FLAIR MRI.
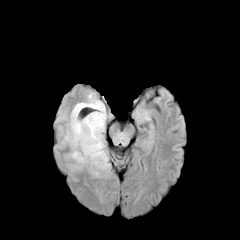
T1-weighted magnetic resonance.
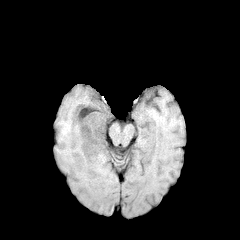
Post-contrast T1-weighted MRI.
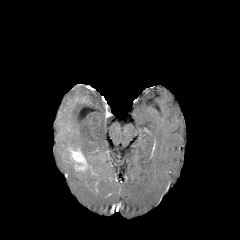
T2-weighted MRI.
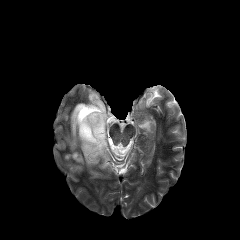
Image size 240x240 | Head
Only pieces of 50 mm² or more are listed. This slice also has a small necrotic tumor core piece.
peritumoral edema = 63,92,110,175
enhancing tumor = 70,148,87,170